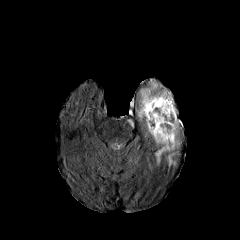
FLAIR MR image.
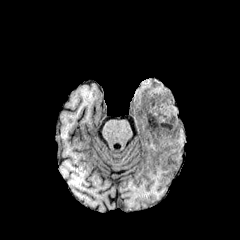
T1-weighted MR of the same slice.
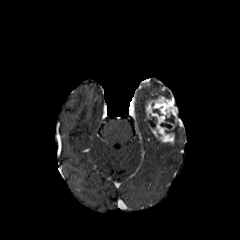
Post-contrast T1-weighted MR image of the same slice.
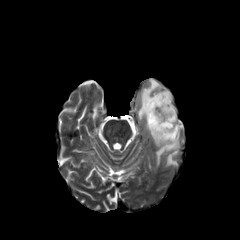
T2-weighted MRI of the same slice.
Head
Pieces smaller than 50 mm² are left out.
{"enhancing_tumor": ["145, 95, 182, 144"], "peritumoral_edema": ["137, 80, 170, 120", "145, 121, 180, 168"], "necrotic_tumor_core": ["147, 117, 157, 128", "160, 113, 178, 133"]}